FLAIR MRI.
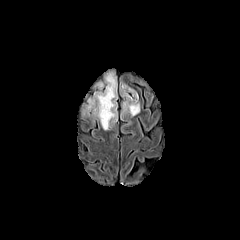
T1-weighted MRI.
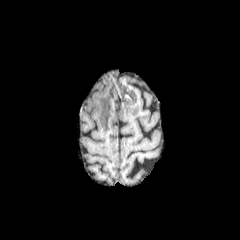
Post-contrast T1-weighted MR.
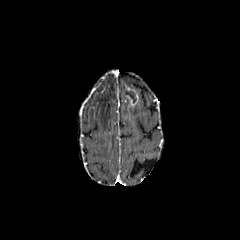
T2-weighted magnetic resonance.
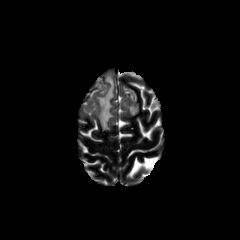
Image size 240x240
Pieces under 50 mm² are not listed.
necrotic tumor core at (x1=125, y1=89, x2=136, y2=102)
enhancing tumor at (x1=123, y1=85, x2=138, y2=106)
peritumoral edema at (x1=87, y1=72, x2=116, y2=130), (x1=121, y1=85, x2=139, y2=116)